Head | Image covers 240 mm x 240 mm
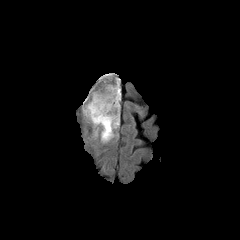
FLAIR magnetic resonance.
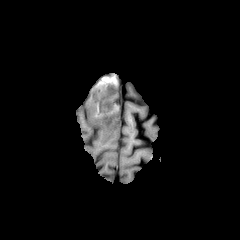
T1-weighted MRI of the same slice.
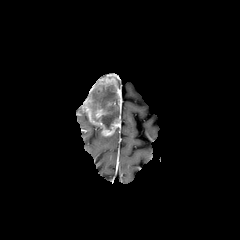
Post-contrast T1-weighted magnetic resonance.
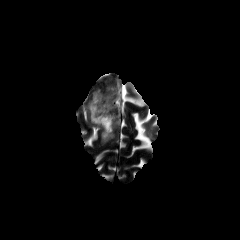
T2-weighted MR.
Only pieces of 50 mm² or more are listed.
<segmentation>
  <necrotic_tumor_core>bbox=[90, 82, 119, 130]</necrotic_tumor_core>
  <enhancing_tumor>bbox=[95, 109, 105, 118]; bbox=[82, 78, 121, 136]</enhancing_tumor>
  <peritumoral_edema>bbox=[101, 133, 117, 143]</peritumoral_edema>
</segmentation>